Slice index 120; Head
FLAIR magnetic resonance.
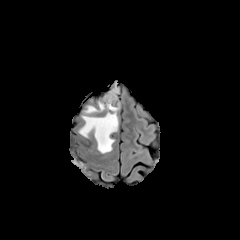
T1-weighted MRI.
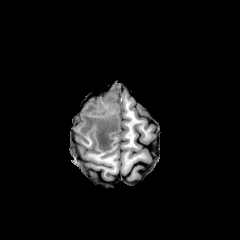
Post-contrast T1-weighted magnetic resonance.
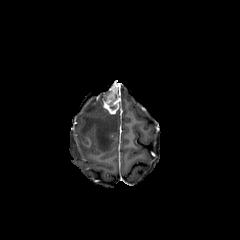
T2-weighted MRI.
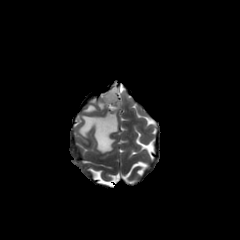
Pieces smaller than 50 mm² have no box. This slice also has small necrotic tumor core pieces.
peritumoral edema: bounding box 79 112 118 153, 85 102 104 113
enhancing tumor: bounding box 103 82 120 114